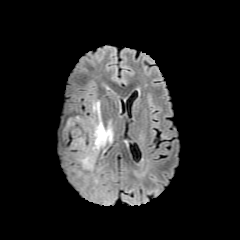
FLAIR MR.
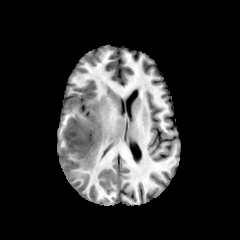
T1-weighted magnetic resonance.
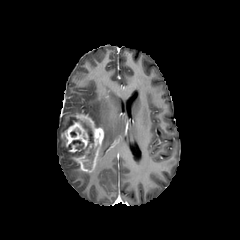
Post-contrast T1-weighted MRI of the same slice.
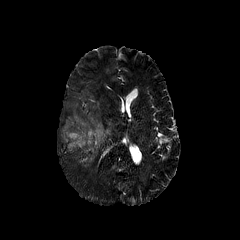
T2-weighted MR.
Axial slice
2 peritumoral edema regions appear at (x1=89, y1=99, x2=113, y2=147), (x1=66, y1=116, x2=76, y2=128). The enhancing tumor is at (x1=62, y1=114, x2=103, y2=172). 3 necrotic tumor core regions appear at (x1=84, y1=147, x2=96, y2=169), (x1=70, y1=129, x2=80, y2=136), (x1=69, y1=123, x2=93, y2=156).